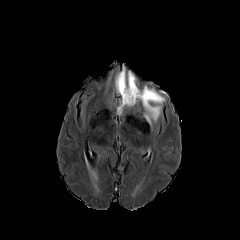
FLAIR magnetic resonance.
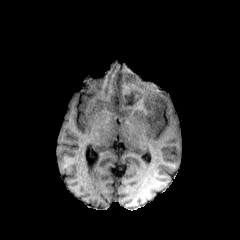
T1-weighted MR.
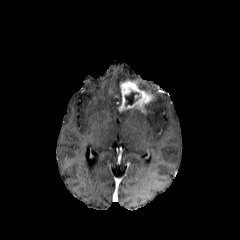
Post-contrast T1-weighted MRI.
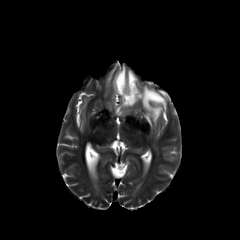
T2-weighted MRI.
Brain. 240x240 px.
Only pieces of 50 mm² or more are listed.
- peritumoral edema: x1=115, y1=65, x2=136, y2=95; x1=140, y1=86, x2=165, y2=124
- enhancing tumor: x1=118, y1=79, x2=154, y2=111
- necrotic tumor core: x1=125, y1=92, x2=138, y2=105